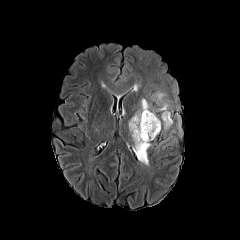
FLAIR MR.
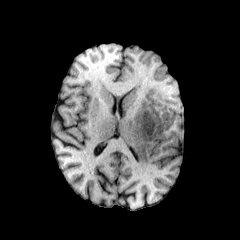
Same slice, T1-weighted MRI.
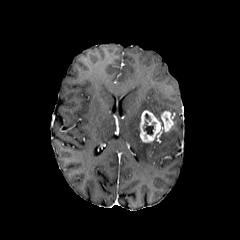
Post-contrast T1-weighted MR.
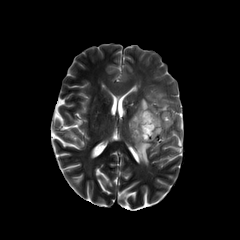
T2-weighted MRI of the same slice.
Axial plane. Head.
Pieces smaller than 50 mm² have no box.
{"peritumoral_edema": ["154,92,169,112", "128,99,155,165"], "enhancing_tumor": ["139,110,173,142"], "necrotic_tumor_core": ["143,121,153,135"]}